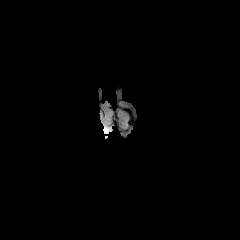
FLAIR MR image.
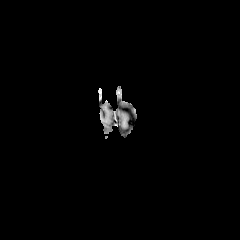
Same slice, T1-weighted MR image.
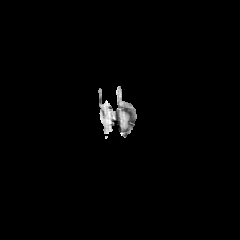
Post-contrast T1-weighted MRI.
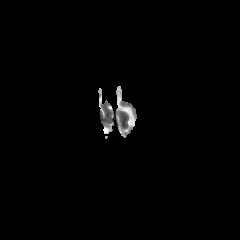
Same slice, T2-weighted magnetic resonance.
Head, Axial plane
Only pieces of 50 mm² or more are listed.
<segmentation>
  <peritumoral_edema><box>103,122,112,133</box></peritumoral_edema>
</segmentation>